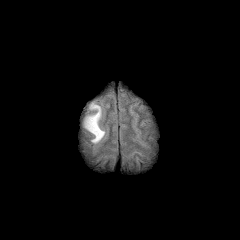
FLAIR MR image.
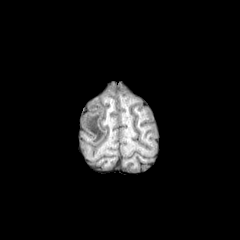
T1-weighted MRI of the same slice.
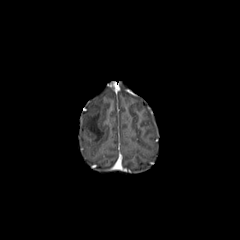
Same slice, post-contrast T1-weighted MRI.
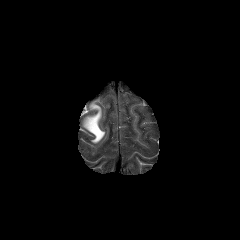
T2-weighted MR of the same slice.
The peritumoral edema is located at 84,103,105,143.